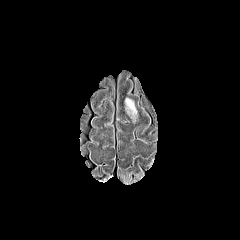
FLAIR MRI.
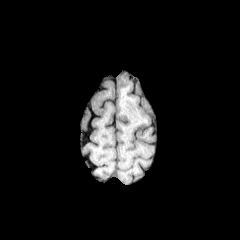
T1-weighted MR image.
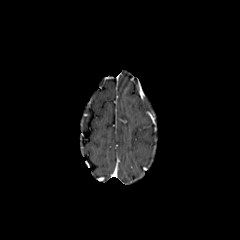
Post-contrast T1-weighted magnetic resonance of the same slice.
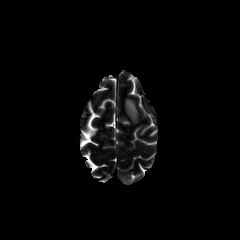
Same slice, T2-weighted MR.
Brain; 240x240 px
peritumoral edema at 125, 99, 136, 117